FLAIR MR image.
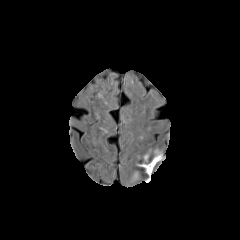
T1-weighted magnetic resonance.
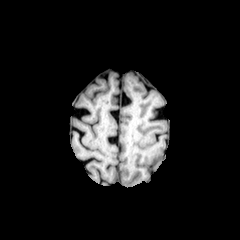
Post-contrast T1-weighted MR.
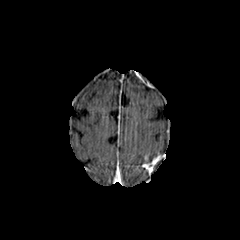
T2-weighted magnetic resonance.
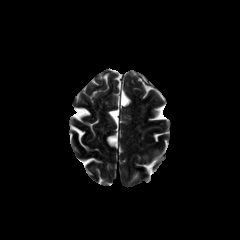
Brain, Image size 240x240
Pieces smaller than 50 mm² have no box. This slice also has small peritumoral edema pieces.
- enhancing tumor: bbox=[142, 152, 164, 175]